Axial view, Image width 240 mm, Slice 73/155, Brain, 240x240 px
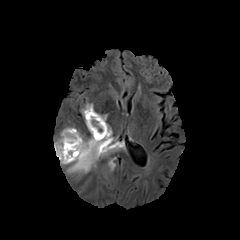
FLAIR MR image.
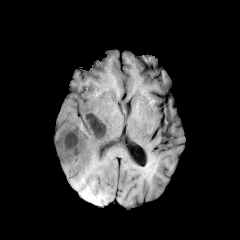
T1-weighted MR of the same slice.
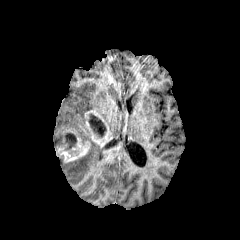
Post-contrast T1-weighted MR image.
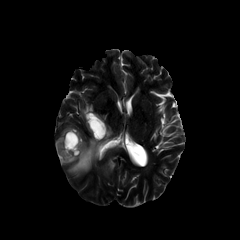
T2-weighted MRI.
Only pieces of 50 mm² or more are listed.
<segmentation>
  <necrotic_tumor_core>103, 139, 118, 149; 89, 113, 106, 137; 64, 132, 76, 143</necrotic_tumor_core>
  <peritumoral_edema>81, 103, 93, 117; 59, 127, 107, 174; 107, 157, 115, 170</peritumoral_edema>
  <enhancing_tumor>56, 129, 90, 162; 85, 110, 120, 161</enhancing_tumor>
</segmentation>